Brain; Axial plane; Image size 240x240
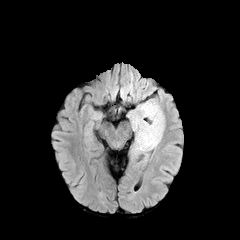
FLAIR MR.
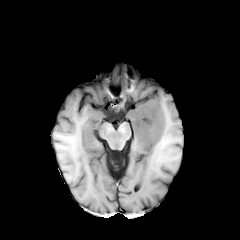
T1-weighted MR of the same slice.
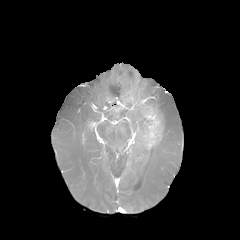
Post-contrast T1-weighted MR of the same slice.
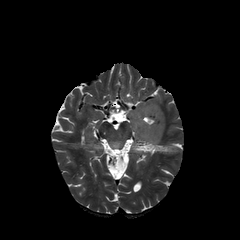
Same slice, T2-weighted MR image.
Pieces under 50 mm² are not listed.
peritumoral edema = (128,105,140,132), (144,99,165,129), (132,133,160,155)
enhancing tumor = (135,103,163,148)